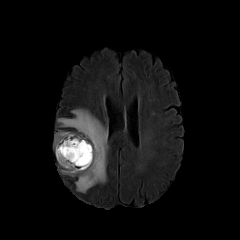
FLAIR magnetic resonance.
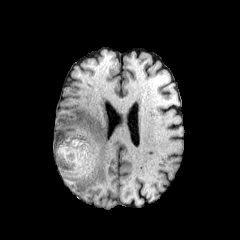
T1-weighted MR image of the same slice.
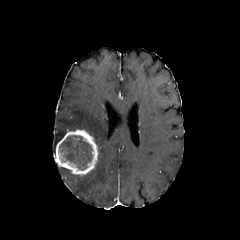
Post-contrast T1-weighted magnetic resonance.
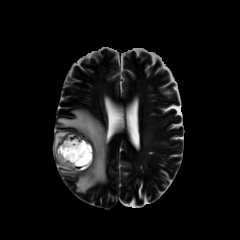
T2-weighted magnetic resonance.
Axial slice, Brain
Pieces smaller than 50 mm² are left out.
2 peritumoral edema regions appear at left=54, top=130, right=67, bottom=153; left=57, top=108, right=108, bottom=193. The largest enhancing tumor region appears at left=55, top=129, right=98, bottom=175. The necrotic tumor core lies within left=59, top=136, right=92, bottom=169.